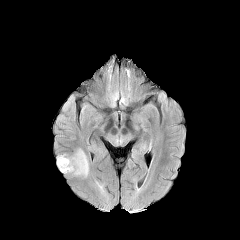
FLAIR MRI.
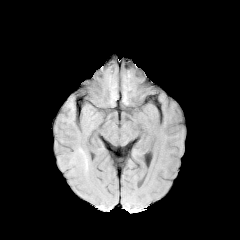
Same slice, T1-weighted MRI.
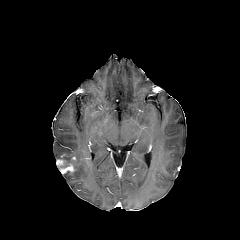
Post-contrast T1-weighted MR.
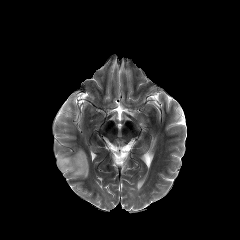
T2-weighted magnetic resonance of the same slice.
Brain. Axial plane.
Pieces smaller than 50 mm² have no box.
<segmentation>
  <enhancing_tumor>56:159:74:173</enhancing_tumor>
  <peritumoral_edema>57:149:89:177</peritumoral_edema>
</segmentation>